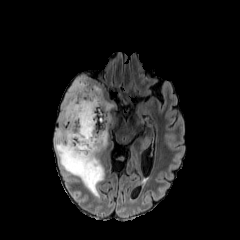
FLAIR MR.
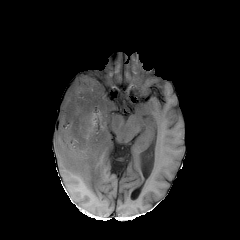
T1-weighted MRI.
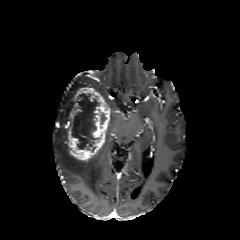
Post-contrast T1-weighted MR image.
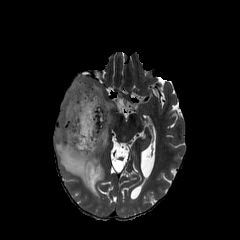
T2-weighted MR.
Head | 240x240 px | Axial view
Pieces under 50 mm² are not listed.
The enhancing tumor appears at [x1=67, y1=87, x2=110, y2=160]. The largest peritumoral edema region is located at [x1=55, y1=75, x2=107, y2=197]. The largest necrotic tumor core region is at [x1=71, y1=93, x2=99, y2=149].